Brain; Axial view
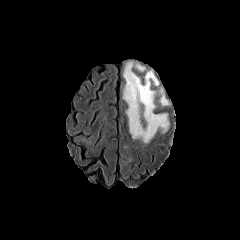
FLAIR magnetic resonance.
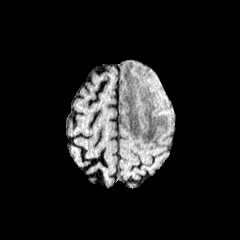
T1-weighted magnetic resonance.
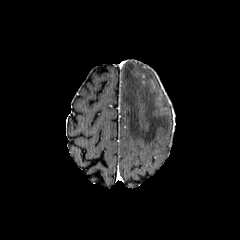
Post-contrast T1-weighted MR image of the same slice.
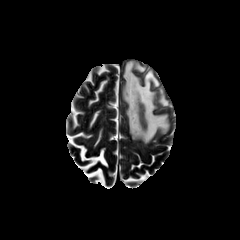
T2-weighted magnetic resonance.
2 peritumoral edema regions are located at 159,90,168,106; 123,62,169,143.